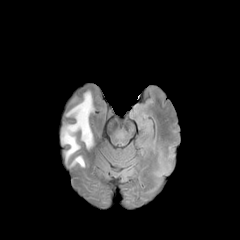
FLAIR magnetic resonance.
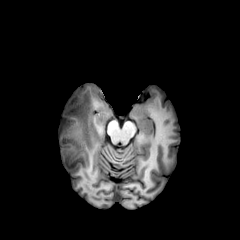
T1-weighted MR image.
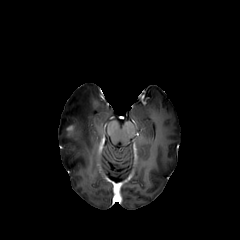
Post-contrast T1-weighted MR image.
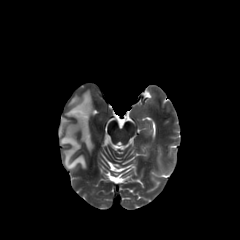
T2-weighted magnetic resonance.
Brain, Axial slice, 240x240
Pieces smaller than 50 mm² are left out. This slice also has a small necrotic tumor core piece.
{
  "enhancing_tumor": [
    "box(66, 124, 74, 135)"
  ],
  "peritumoral_edema": [
    "box(69, 156, 85, 167)",
    "box(61, 92, 93, 163)"
  ]
}